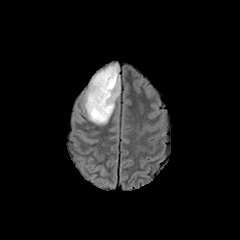
FLAIR MR.
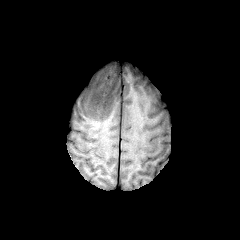
T1-weighted magnetic resonance.
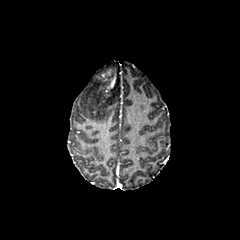
Same slice, post-contrast T1-weighted magnetic resonance.
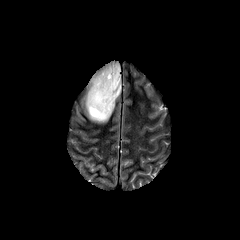
T2-weighted MRI.
Axial slice; Head; 240x240
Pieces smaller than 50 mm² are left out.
peritumoral edema = x1=84 y1=64 x2=120 y2=123
enhancing tumor = x1=97 y1=68 x2=116 y2=105